Brain | Axial view | Slice 41/155
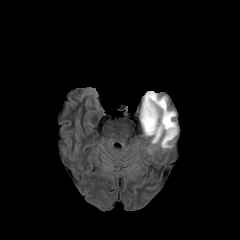
FLAIR MR.
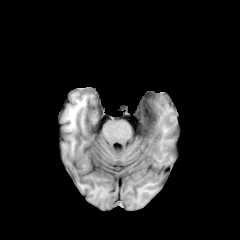
Same slice, T1-weighted MR image.
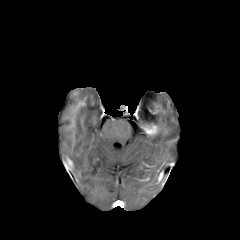
Same slice, post-contrast T1-weighted MRI.
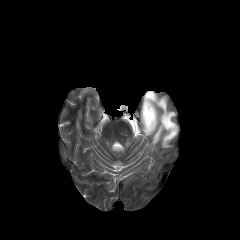
T2-weighted MRI.
The peritumoral edema lies within (140, 91, 177, 148). 2 enhancing tumor regions appear at (141, 122, 158, 135), (148, 104, 159, 114).